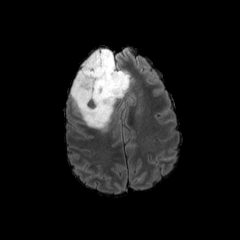
FLAIR MR.
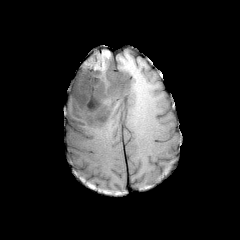
T1-weighted MR.
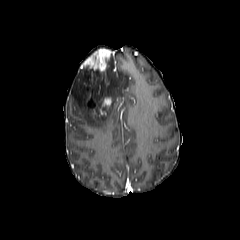
Post-contrast T1-weighted MR.
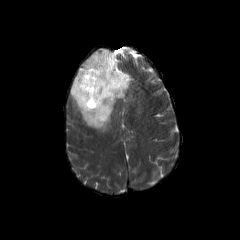
T2-weighted MR image.
240x240 | Brain
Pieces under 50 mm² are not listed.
The largest peritumoral edema region is at l=70, t=53, r=130, b=131. The necrotic tumor core is located at l=87, t=98, r=95, b=107. The 3 largest enhancing tumor regions appear at l=82, t=48, r=111, b=72; l=89, t=97, r=111, b=117; l=88, t=94, r=97, b=106.